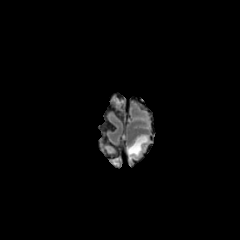
FLAIR magnetic resonance.
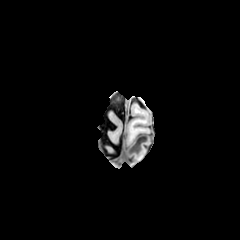
T1-weighted MRI.
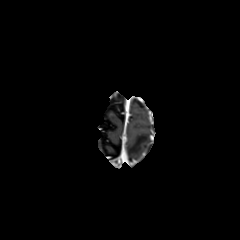
Post-contrast T1-weighted MRI.
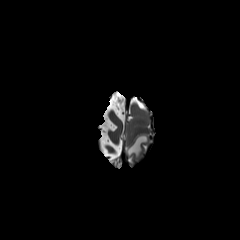
Same slice, T2-weighted magnetic resonance.
Axial view | Head | 240x240 px
peritumoral edema at (127, 134, 148, 157)